Image width 240 mm, Axial plane, Slice index 50
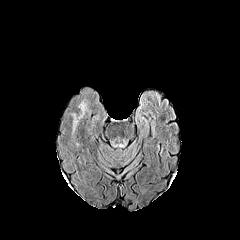
FLAIR MR.
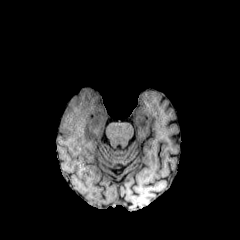
T1-weighted MRI.
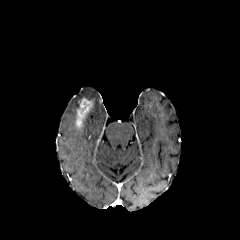
Same slice, post-contrast T1-weighted MR image.
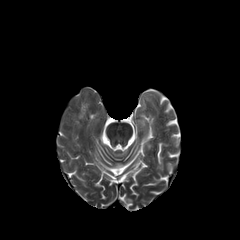
T2-weighted MR image.
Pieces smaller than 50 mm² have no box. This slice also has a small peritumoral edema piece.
enhancing tumor — rect(75, 98, 92, 128)